Axial plane | 240x240
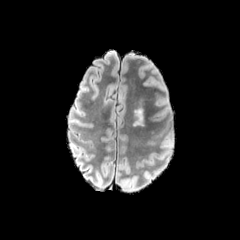
FLAIR magnetic resonance.
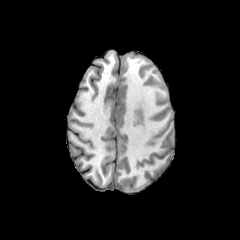
T1-weighted MR.
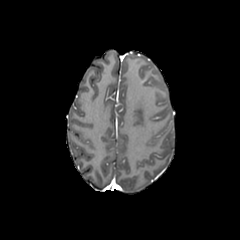
Post-contrast T1-weighted MR.
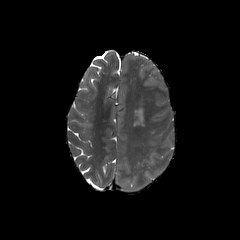
Same slice, T2-weighted magnetic resonance.
The peritumoral edema appears at <box>134,108,143,125</box>.